FLAIR MR.
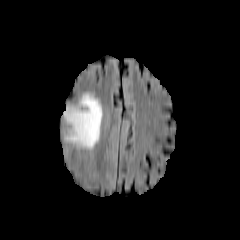
T1-weighted MRI.
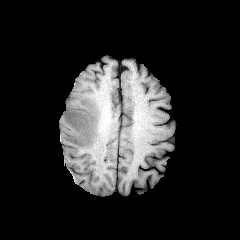
Post-contrast T1-weighted MR.
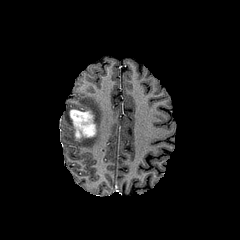
T2-weighted magnetic resonance.
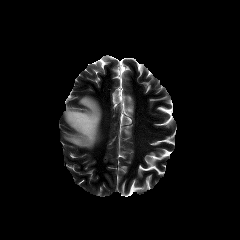
Head. Axial slice.
peritumoral edema: (63, 93, 102, 149)
enhancing tumor: (69, 109, 96, 141)